Image size 240x240 | Image width 240 mm, 1.00 mm slice spacing | Axial view | Slice 36 of 155
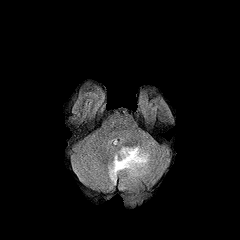
FLAIR MR image.
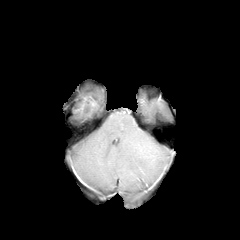
Same slice, T1-weighted MRI.
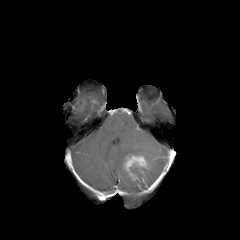
Post-contrast T1-weighted magnetic resonance of the same slice.
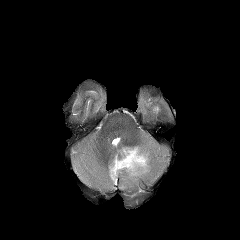
T2-weighted MRI.
Annotated regions:
- enhancing tumor: bbox=[123, 154, 147, 179]
- peritumoral edema: bbox=[108, 146, 150, 188]